FLAIR magnetic resonance.
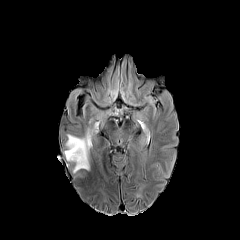
T1-weighted MRI.
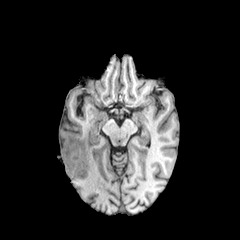
Post-contrast T1-weighted MRI.
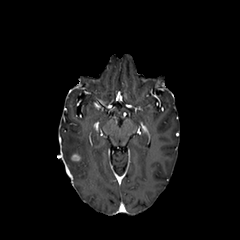
T2-weighted magnetic resonance.
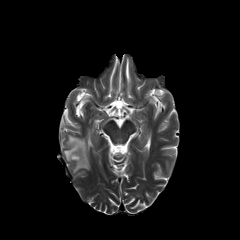
Head | Image size 240x240
enhancing tumor = l=71, t=154, r=80, b=161
peritumoral edema = l=64, t=133, r=90, b=171